Slice 103 of 155, Head
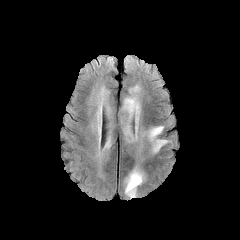
FLAIR magnetic resonance.
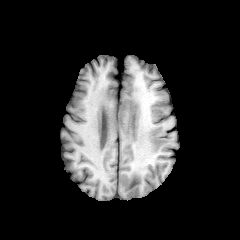
T1-weighted MR image.
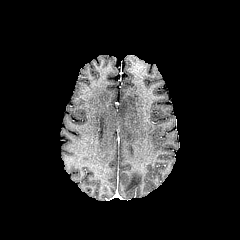
Post-contrast T1-weighted magnetic resonance of the same slice.
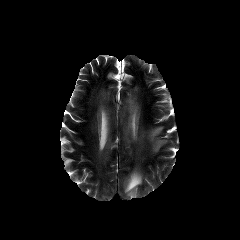
T2-weighted MR image of the same slice.
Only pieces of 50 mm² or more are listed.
<segmentation>
  <peritumoral_edema>x1=125 y1=168 x2=144 y2=198, x1=96 y1=99 x2=103 y2=148, x1=148 y1=126 x2=167 y2=152, x1=104 y1=136 x2=110 y2=148, x1=122 y1=85 x2=140 y2=141</peritumoral_edema>
</segmentation>